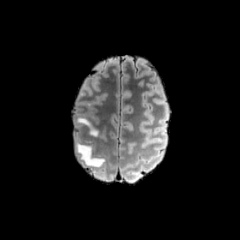
FLAIR magnetic resonance.
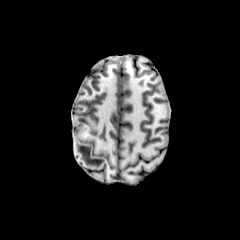
Same slice, T1-weighted MR image.
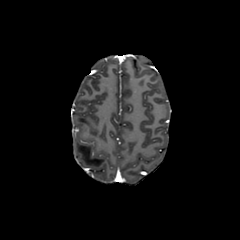
Post-contrast T1-weighted magnetic resonance of the same slice.
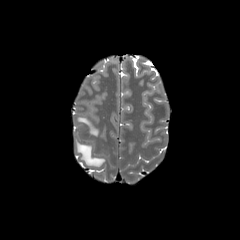
T2-weighted magnetic resonance of the same slice.
Head, Axial slice
- peritumoral edema: <box>76,138,104,166</box>, <box>77,117,98,135</box>